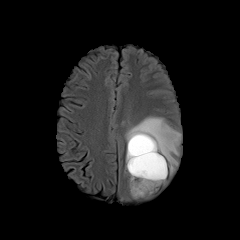
FLAIR MR.
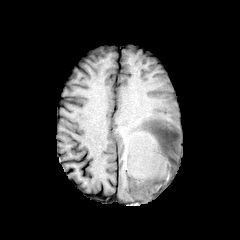
T1-weighted MR image.
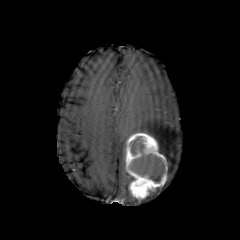
Post-contrast T1-weighted magnetic resonance.
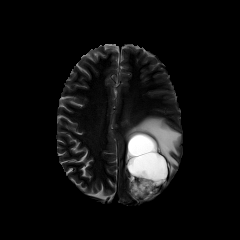
T2-weighted MR image.
240x240 px
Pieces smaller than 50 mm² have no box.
Segmented structures:
- enhancing tumor: rect(126, 132, 167, 199)
- peritumoral edema: rect(125, 116, 181, 174)
- necrotic tumor core: rect(130, 154, 164, 183); rect(130, 137, 146, 155)